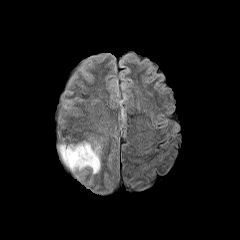
FLAIR MRI.
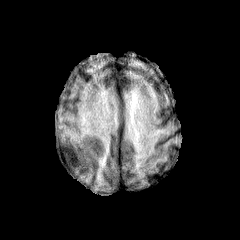
Same slice, T1-weighted MRI.
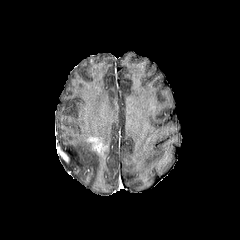
Same slice, post-contrast T1-weighted MR.
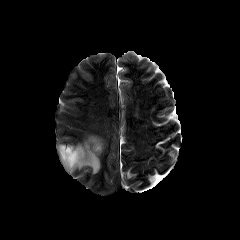
T2-weighted magnetic resonance.
Axial slice
enhancing_tumor:
  - (left=87, top=136, right=104, bottom=154)
  - (left=57, top=146, right=69, bottom=162)
peritumoral_edema:
  - (left=60, top=141, right=100, bottom=173)